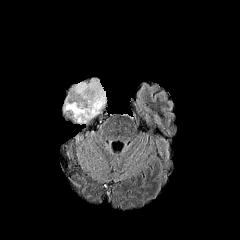
FLAIR magnetic resonance.
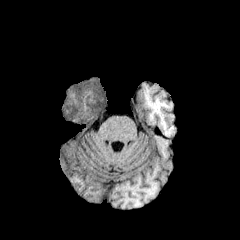
Same slice, T1-weighted MR image.
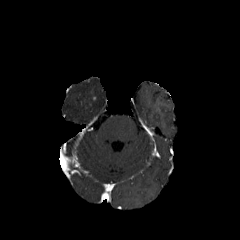
Same slice, post-contrast T1-weighted magnetic resonance.
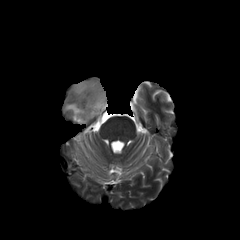
Same slice, T2-weighted MR image.
Axial slice
Segmented structures:
- peritumoral edema: 64, 79, 105, 123